Axial plane; Head
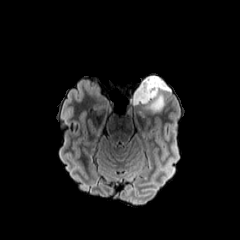
FLAIR MR.
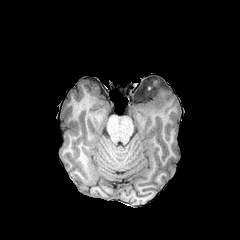
T1-weighted MR of the same slice.
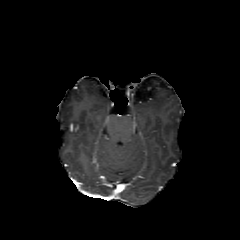
Post-contrast T1-weighted magnetic resonance.
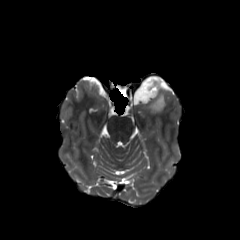
T2-weighted MR.
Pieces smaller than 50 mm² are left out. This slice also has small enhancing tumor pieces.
Segmented structures:
• peritumoral edema: bbox(132, 75, 171, 112)